FLAIR MR.
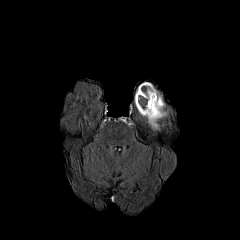
T1-weighted magnetic resonance.
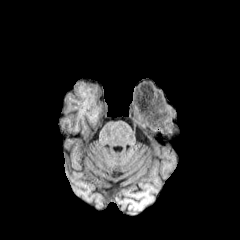
Post-contrast T1-weighted magnetic resonance.
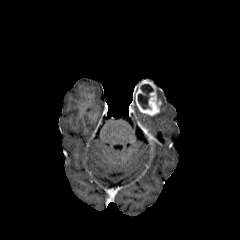
T2-weighted MR.
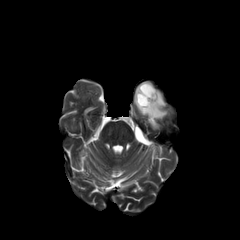
Head. Image size 240x240.
Annotated regions:
- necrotic tumor core: box(138, 84, 153, 108)
- peritumoral edema: box(139, 91, 168, 129)
- enhancing tumor: box(135, 80, 162, 116)